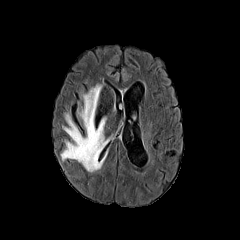
FLAIR MR image.
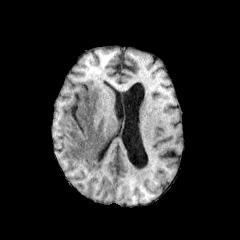
T1-weighted MR image of the same slice.
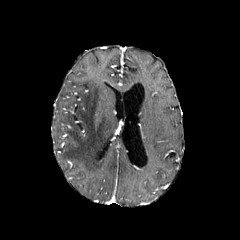
Same slice, post-contrast T1-weighted MRI.
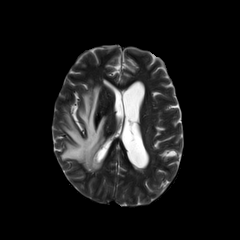
Same slice, T2-weighted magnetic resonance.
Head
peritumoral edema: bounding box (61, 84, 108, 172)